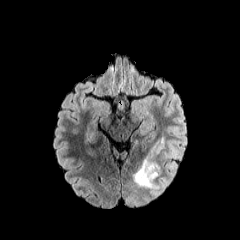
FLAIR magnetic resonance.
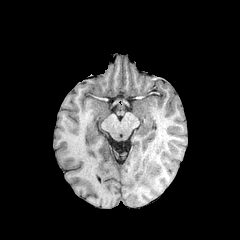
Same slice, T1-weighted MR image.
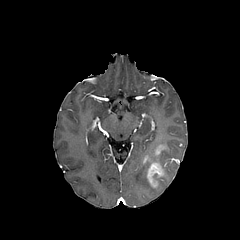
Post-contrast T1-weighted MRI of the same slice.
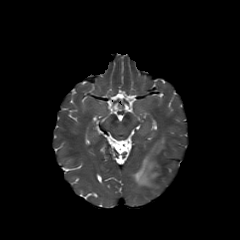
Same slice, T2-weighted MR.
Image size 240x240 | Brain
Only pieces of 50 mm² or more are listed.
2 enhancing tumor regions appear at 154, 145, 164, 154; 143, 157, 163, 187. The 2 largest peritumoral edema regions are bounded by 132, 162, 158, 189; 145, 137, 165, 161.